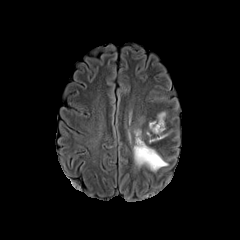
FLAIR MR image.
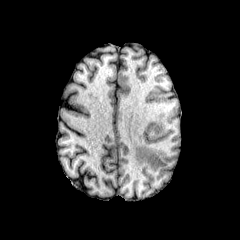
T1-weighted MR of the same slice.
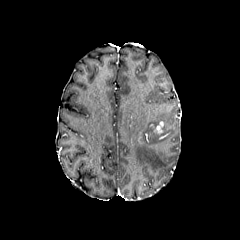
Post-contrast T1-weighted MR image.
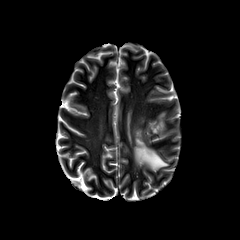
T2-weighted magnetic resonance.
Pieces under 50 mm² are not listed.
* enhancing tumor: bbox=[154, 121, 163, 133]
* peritumoral edema: bbox=[150, 113, 165, 131]; bbox=[133, 130, 167, 171]